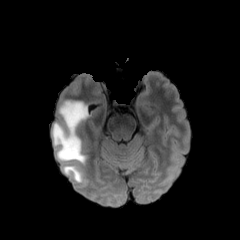
FLAIR MR image.
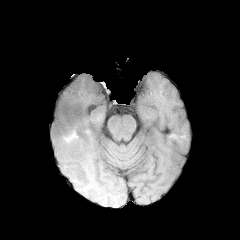
T1-weighted magnetic resonance.
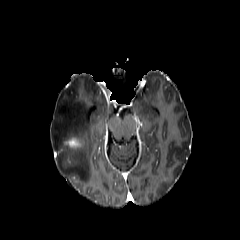
Same slice, post-contrast T1-weighted MR.
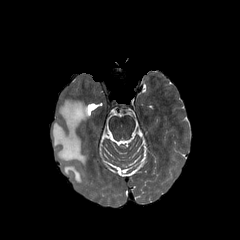
T2-weighted MRI of the same slice.
Head. 240x240. Axial plane.
• peritumoral edema: [52, 100, 89, 183]
• enhancing tumor: [65, 138, 80, 149]